FLAIR MRI.
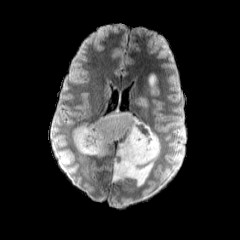
T1-weighted MR image.
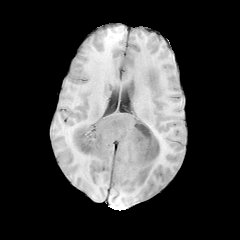
Post-contrast T1-weighted MRI.
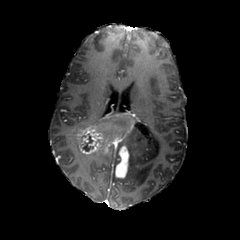
T2-weighted MRI.
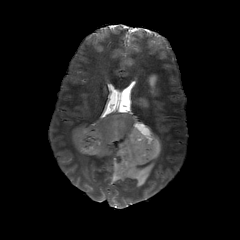
240x240 px.
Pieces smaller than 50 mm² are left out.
The 2 largest necrotic tumor core regions are bounded by [x1=82, y1=134, x2=93, y2=151], [x1=113, y1=118, x2=126, y2=127]. The 4 largest peritumoral edema regions appear at [x1=88, y1=148, x2=113, y2=159], [x1=136, y1=98, x2=147, y2=106], [x1=113, y1=121, x2=160, y2=186], [x1=148, y1=74, x2=155, y2=86]. The largest enhancing tumor region appears at [x1=74, y1=113, x2=135, y2=178].